FLAIR magnetic resonance.
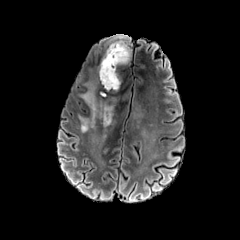
T1-weighted MR image.
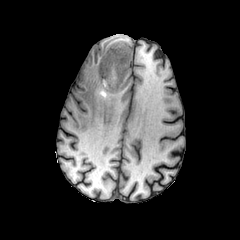
Post-contrast T1-weighted MR.
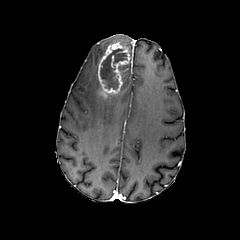
T2-weighted magnetic resonance.
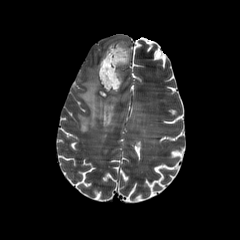
240x240 px. Brain.
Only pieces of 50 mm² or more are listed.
The 2 largest peritumoral edema regions appear at (x1=110, y1=34, x2=128, y2=46), (x1=78, y1=82, x2=119, y2=132). The necrotic tumor core is bounded by (x1=100, y1=49, x2=126, y2=89). The enhancing tumor is at (x1=98, y1=42, x2=130, y2=97).